FLAIR MRI.
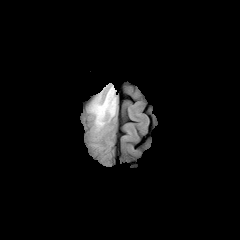
T1-weighted magnetic resonance.
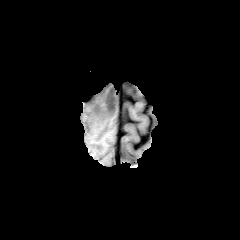
Post-contrast T1-weighted MRI.
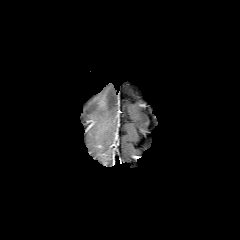
T2-weighted MRI.
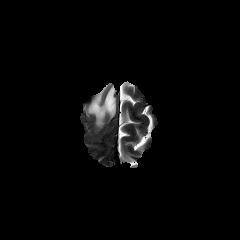
Axial slice, Brain
The peritumoral edema appears at bbox(89, 86, 116, 127).